Image width 240 mm | Slice 112/155
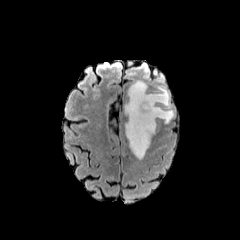
FLAIR MRI.
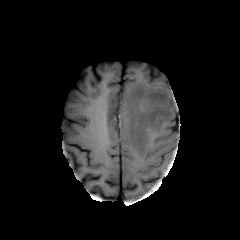
T1-weighted MRI of the same slice.
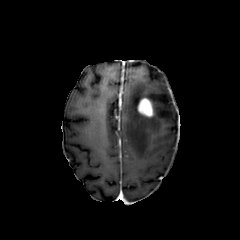
Same slice, post-contrast T1-weighted magnetic resonance.
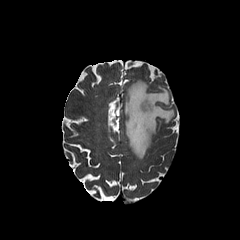
T2-weighted MRI.
Findings:
* peritumoral edema: l=125, t=80, r=174, b=159
* enhancing tumor: l=137, t=98, r=154, b=117